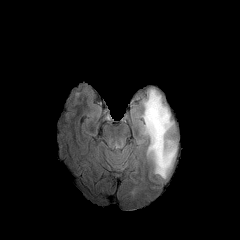
FLAIR MRI.
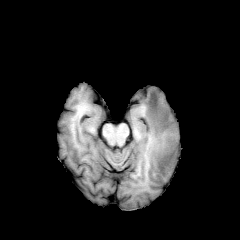
T1-weighted MRI.
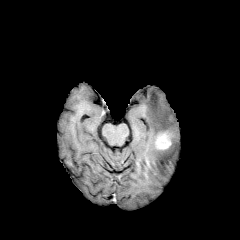
Same slice, post-contrast T1-weighted MRI.
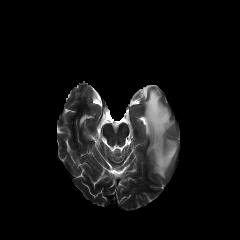
Same slice, T2-weighted MR.
Segmented structures:
• enhancing tumor: (155, 133, 171, 149)
• peritumoral edema: (142, 89, 177, 178)